Axial view
FLAIR MRI.
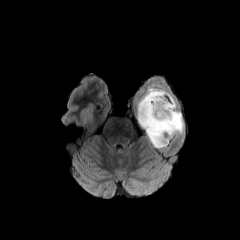
T1-weighted MR image.
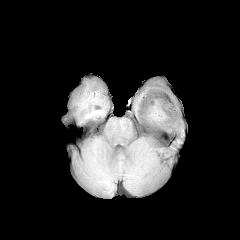
Post-contrast T1-weighted MR.
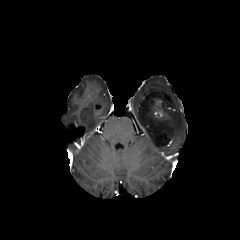
T2-weighted magnetic resonance.
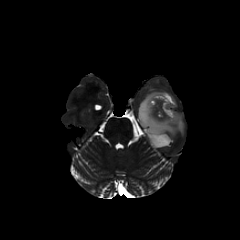
- enhancing tumor: [x1=147, y1=97, x2=170, y2=120]
- peritumoral edema: [x1=137, y1=84, x2=183, y2=147]